Slice 70/155. Axial slice. Brain.
FLAIR magnetic resonance.
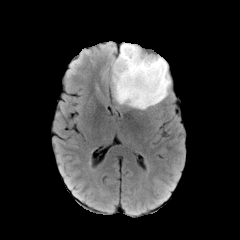
T1-weighted MRI.
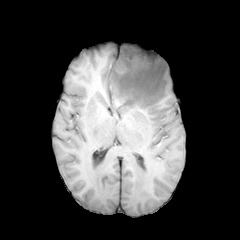
Post-contrast T1-weighted MRI.
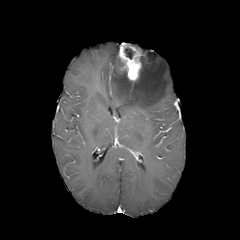
T2-weighted MR image.
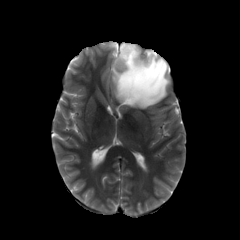
necrotic tumor core: bounding box {"x1": 125, "y1": 48, "x2": 133, "y2": 58}
peritumoral edema: bounding box {"x1": 112, "y1": 55, "x2": 170, "y2": 109}
enhancing tumor: bounding box {"x1": 119, "y1": 43, "x2": 142, "y2": 81}